Slice 123 of 155; Axial view
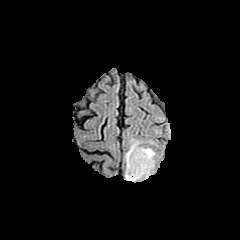
FLAIR magnetic resonance.
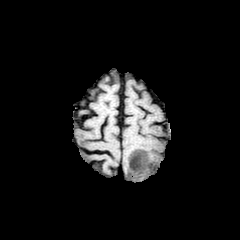
T1-weighted MR.
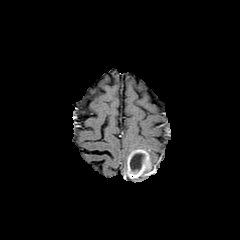
Post-contrast T1-weighted MRI.
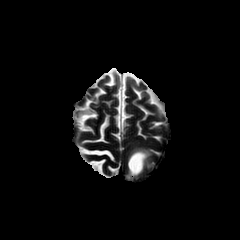
T2-weighted magnetic resonance.
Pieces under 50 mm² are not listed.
The enhancing tumor appears at (126, 149, 153, 178). The necrotic tumor core appears at (130, 153, 144, 170). The 2 largest peritumoral edema regions appear at (126, 139, 155, 170), (124, 174, 147, 181).